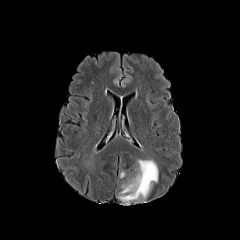
FLAIR MR image.
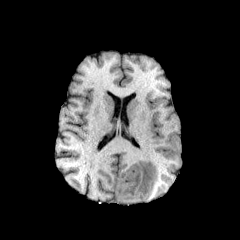
T1-weighted MRI.
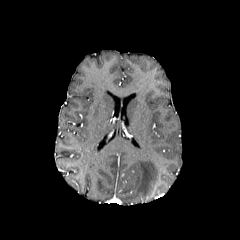
Post-contrast T1-weighted magnetic resonance.
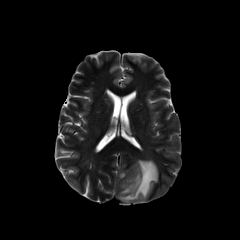
T2-weighted MRI.
Axial view; Image size 240x240
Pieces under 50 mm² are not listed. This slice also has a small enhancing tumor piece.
Findings:
- peritumoral edema: bbox(118, 159, 158, 204)